FLAIR MR image.
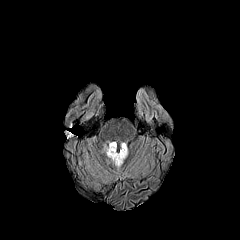
T1-weighted magnetic resonance.
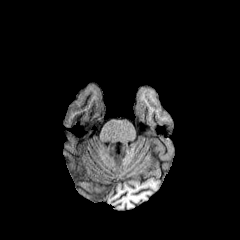
Post-contrast T1-weighted magnetic resonance.
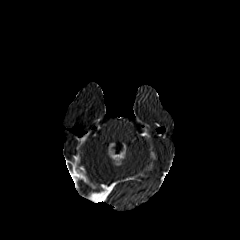
T2-weighted MRI.
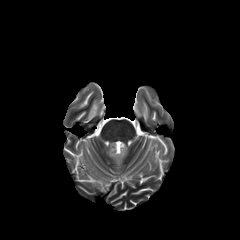
Head. Axial slice.
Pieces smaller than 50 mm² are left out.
<segmentation>
  <peritumoral_edema>x1=102, y1=145, x2=110, y2=158</peritumoral_edema>
  <enhancing_tumor>x1=107, y1=142, x2=126, y2=165</enhancing_tumor>
</segmentation>